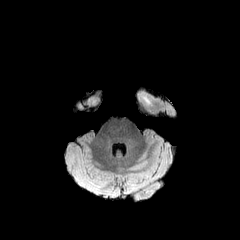
FLAIR MR image.
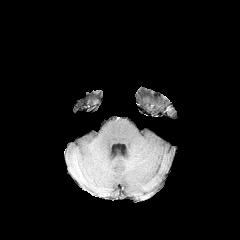
T1-weighted MR.
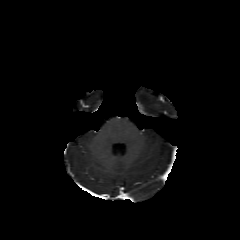
Same slice, post-contrast T1-weighted MR image.
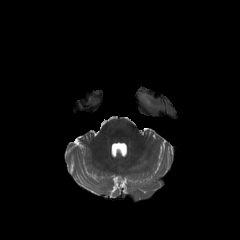
T2-weighted MR image of the same slice.
Brain.
The peritumoral edema appears at region(138, 92, 154, 106).